Image size 240x240
FLAIR MR.
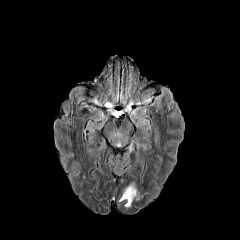
T1-weighted magnetic resonance.
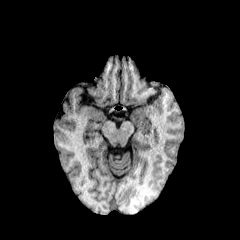
Post-contrast T1-weighted magnetic resonance.
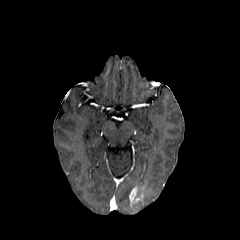
T2-weighted magnetic resonance.
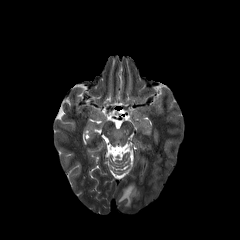
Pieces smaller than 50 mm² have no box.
The enhancing tumor is at rect(129, 187, 139, 204). The largest peritumoral edema region is located at rect(119, 181, 134, 207).